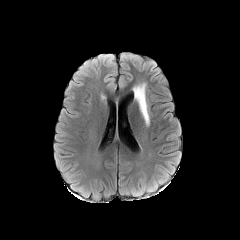
FLAIR MR image.
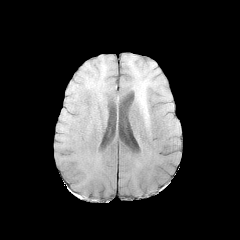
Same slice, T1-weighted MR image.
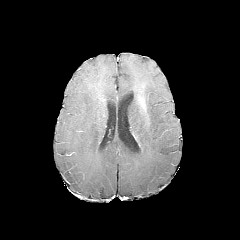
Post-contrast T1-weighted MRI.
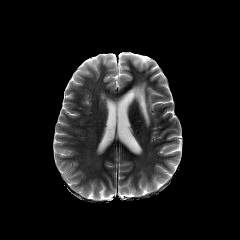
Same slice, T2-weighted MR image.
Brain, Axial slice
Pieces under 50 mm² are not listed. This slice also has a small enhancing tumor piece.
Findings:
• peritumoral edema: box(133, 83, 149, 125)